Brain
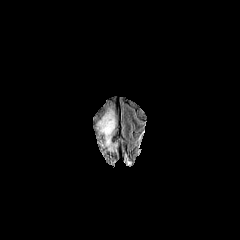
FLAIR MRI.
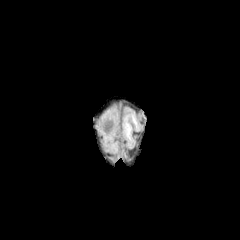
T1-weighted magnetic resonance of the same slice.
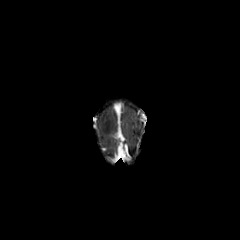
Post-contrast T1-weighted MR.
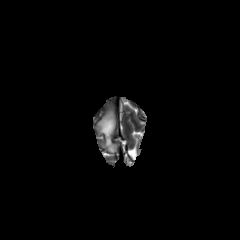
T2-weighted MR.
- peritumoral edema: l=98, t=111, r=115, b=151